FLAIR MRI.
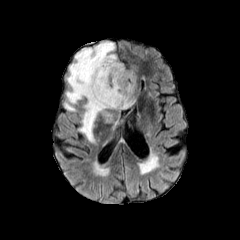
T1-weighted MRI.
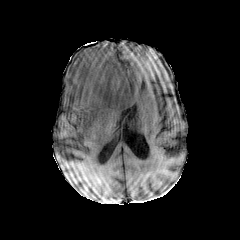
Post-contrast T1-weighted MR image.
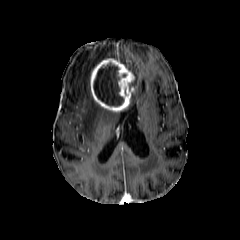
T2-weighted MR.
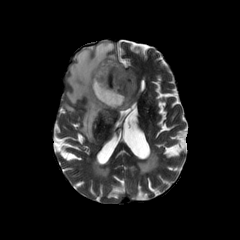
240x240 px. Head.
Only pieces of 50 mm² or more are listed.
The enhancing tumor is located at 90, 58, 134, 112. The largest necrotic tumor core region is located at 94, 63, 123, 105. The 2 largest peritumoral edema regions are bounded by 64, 42, 117, 141; 131, 75, 136, 103.